Axial view; 240x240; Brain
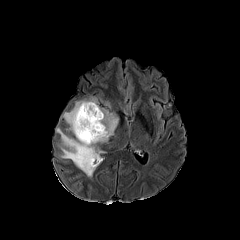
FLAIR MR image.
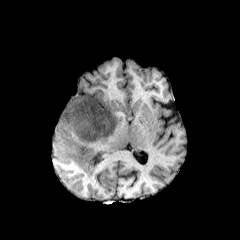
Same slice, T1-weighted MRI.
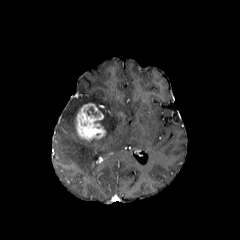
Post-contrast T1-weighted MR image.
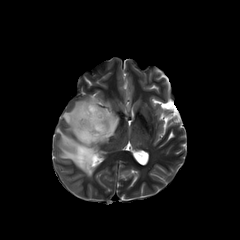
Same slice, T2-weighted MR image.
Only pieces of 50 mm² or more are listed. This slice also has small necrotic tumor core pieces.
The largest enhancing tumor region appears at box(75, 103, 106, 141). The largest peritumoral edema region appears at box(56, 97, 118, 177).